Brain.
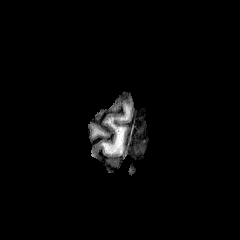
FLAIR MRI.
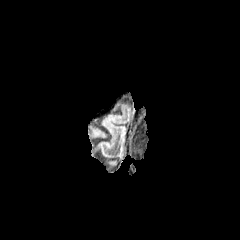
T1-weighted magnetic resonance of the same slice.
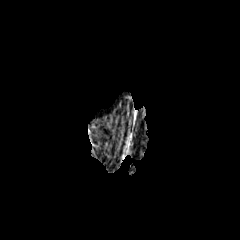
Same slice, post-contrast T1-weighted MR.
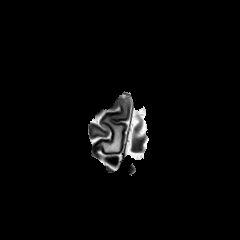
T2-weighted MRI of the same slice.
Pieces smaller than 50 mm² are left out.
peritumoral_edema:
  - (left=101, top=117, right=125, bottom=154)